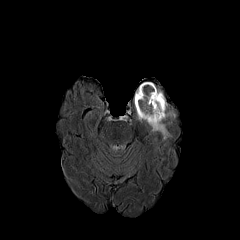
FLAIR MR image.
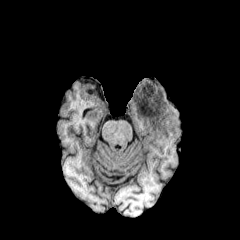
T1-weighted magnetic resonance.
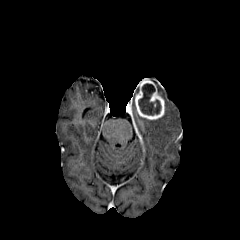
Post-contrast T1-weighted MR.
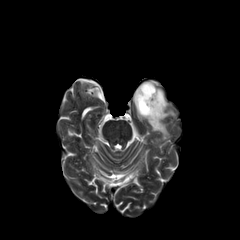
T2-weighted magnetic resonance.
Axial plane | Image size 240x240 | Brain
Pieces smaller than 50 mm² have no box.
{
  "necrotic_tumor_core": [
    "bbox(138, 83, 160, 115)"
  ],
  "peritumoral_edema": [
    "bbox(137, 89, 175, 139)"
  ],
  "enhancing_tumor": [
    "bbox(135, 80, 165, 119)"
  ]
}